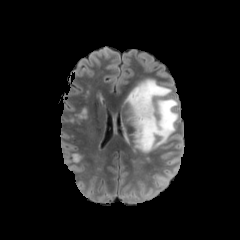
FLAIR MR image.
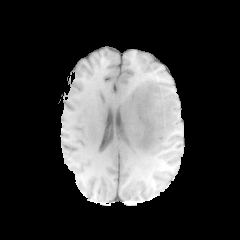
Same slice, T1-weighted MR.
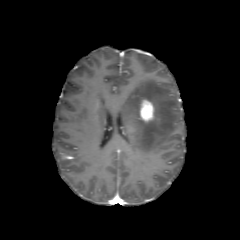
Same slice, post-contrast T1-weighted MR image.
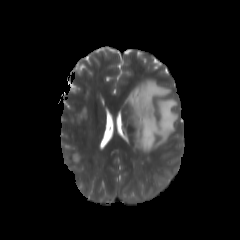
T2-weighted magnetic resonance of the same slice.
* peritumoral edema: 125:79:178:153
* enhancing tumor: 139:99:154:122